FLAIR MR image.
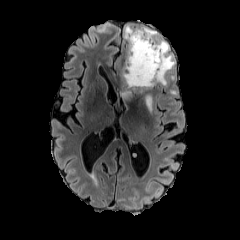
T1-weighted magnetic resonance.
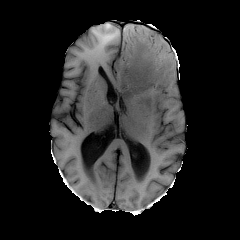
Post-contrast T1-weighted MRI.
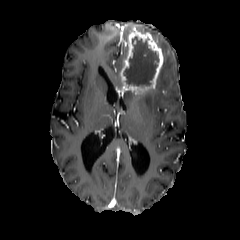
T2-weighted MRI.
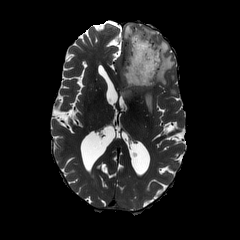
Head, Axial view
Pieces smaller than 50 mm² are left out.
Annotated regions:
- enhancing tumor: [120, 27, 163, 94]
- necrotic tumor core: [123, 36, 158, 86]
- peritumoral edema: [123, 23, 175, 84], [123, 92, 132, 100], [140, 91, 152, 114]